FLAIR magnetic resonance.
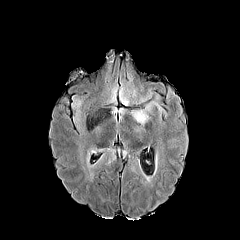
T1-weighted magnetic resonance.
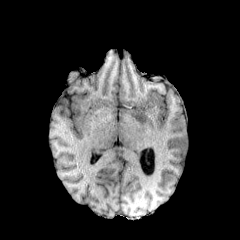
Post-contrast T1-weighted MRI.
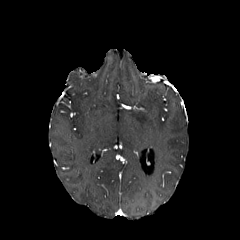
T2-weighted magnetic resonance.
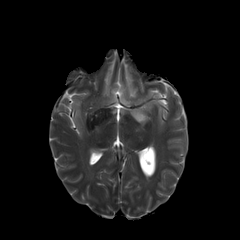
Head. 240x240 px. Axial view.
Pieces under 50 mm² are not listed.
peritumoral_edema:
  - region(90, 148, 110, 154)
  - region(131, 111, 148, 123)
  - region(145, 101, 161, 111)